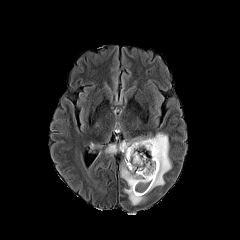
FLAIR MRI.
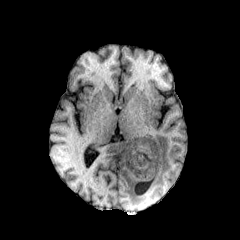
T1-weighted MRI.
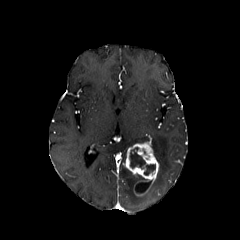
Post-contrast T1-weighted MRI of the same slice.
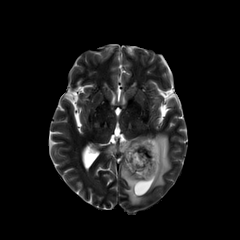
Same slice, T2-weighted MRI.
Head | 240x240 | Axial plane
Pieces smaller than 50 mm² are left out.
<segmentation>
  <enhancing_tumor>rect(124, 139, 159, 196)</enhancing_tumor>
  <peritumoral_edema>rect(121, 166, 145, 204); rect(106, 137, 149, 157); rect(147, 133, 171, 192)</peritumoral_edema>
  <necrotic_tumor_core>rect(135, 180, 151, 193); rect(130, 147, 155, 175)</necrotic_tumor_core>
</segmentation>